Head
FLAIR MRI.
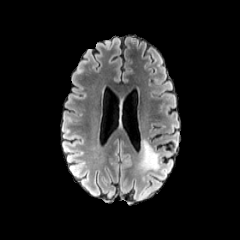
T1-weighted MR image.
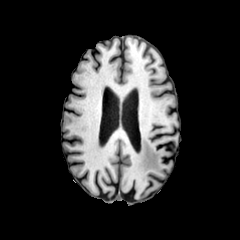
Post-contrast T1-weighted MRI.
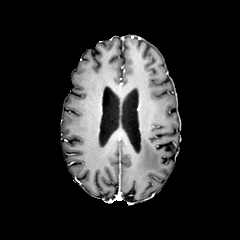
T2-weighted MR.
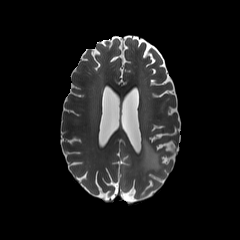
peritumoral_edema:
  - (135, 141, 159, 181)